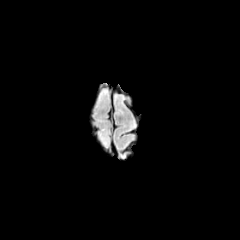
FLAIR MR image.
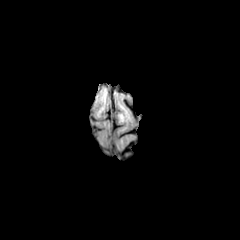
T1-weighted MR image.
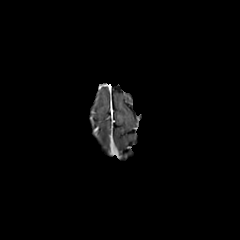
Post-contrast T1-weighted MR image.
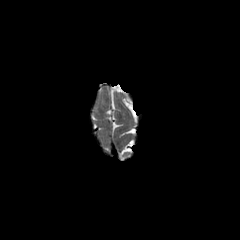
T2-weighted MR.
Image size 240x240; Axial view
peritumoral_edema:
  - left=100, top=130, right=108, bottom=145